FLAIR magnetic resonance.
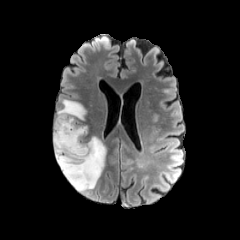
T1-weighted magnetic resonance.
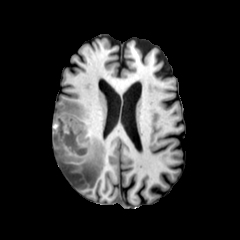
Post-contrast T1-weighted MR.
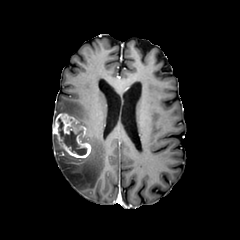
T2-weighted MR.
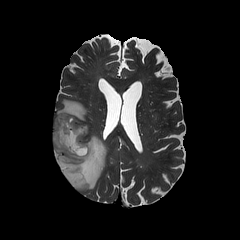
Image size 240x240
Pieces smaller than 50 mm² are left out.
{
  "necrotic_tumor_core": [
    "<bbox>57, 118, 86, 155</bbox>"
  ],
  "enhancing_tumor": [
    "<bbox>53, 112, 91, 158</bbox>"
  ],
  "peritumoral_edema": [
    "<bbox>56, 99, 90, 131</bbox>",
    "<bbox>53, 135, 106, 192</bbox>"
  ]
}